Slice 103/155 | Brain | 240x240 px
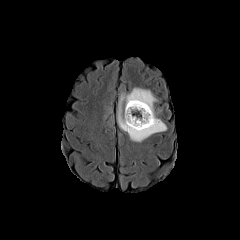
FLAIR MRI.
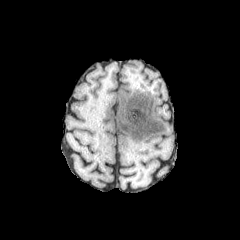
Same slice, T1-weighted MR.
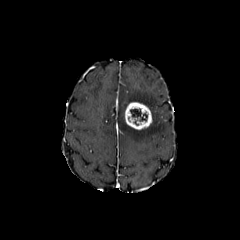
Post-contrast T1-weighted magnetic resonance.
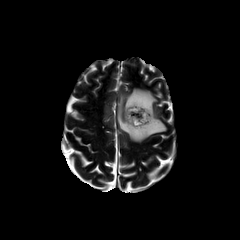
Same slice, T2-weighted MRI.
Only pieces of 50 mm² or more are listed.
enhancing tumor: (x1=124, y1=102, x2=152, y2=130)
peritumoral edema: (x1=118, y1=88, x2=166, y2=142)
necrotic tumor core: (x1=130, y1=109, x2=147, y2=120)